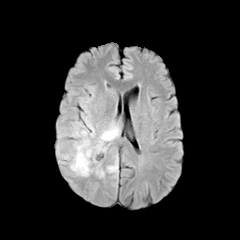
FLAIR MR.
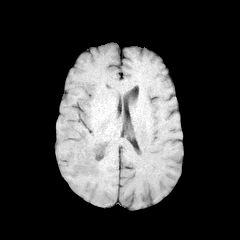
T1-weighted MR.
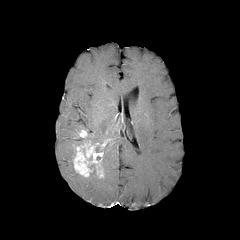
Post-contrast T1-weighted magnetic resonance.
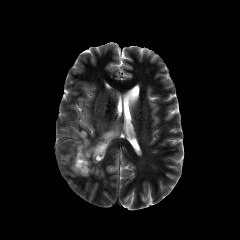
T2-weighted MR image.
240x240
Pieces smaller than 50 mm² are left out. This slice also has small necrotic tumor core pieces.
peritumoral edema: 107 162 117 172, 63 122 120 175, 82 115 94 136, 71 127 80 137 | enhancing tumor: 78 130 87 138, 73 139 110 177